FLAIR MR.
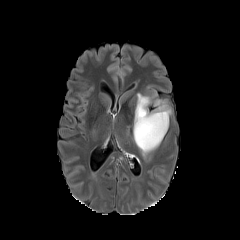
T1-weighted MR image.
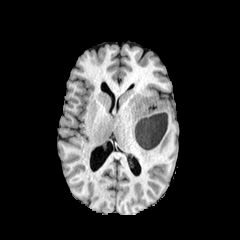
Post-contrast T1-weighted MRI.
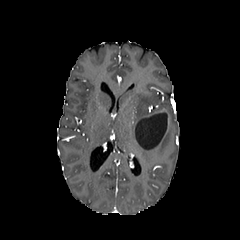
T2-weighted MR image.
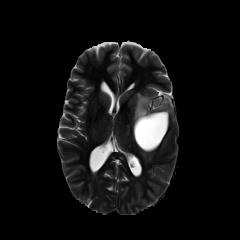
Brain
Annotated regions:
• peritumoral edema: region(133, 93, 170, 157)